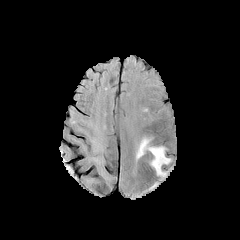
FLAIR MR.
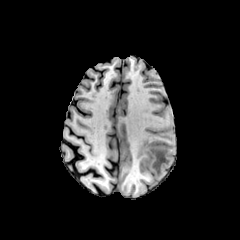
Same slice, T1-weighted MR image.
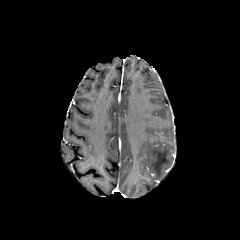
Same slice, post-contrast T1-weighted MR image.
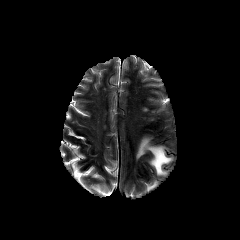
T2-weighted MR.
240x240 px; Brain
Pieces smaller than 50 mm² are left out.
peritumoral edema at [136, 137, 171, 175]